FLAIR magnetic resonance.
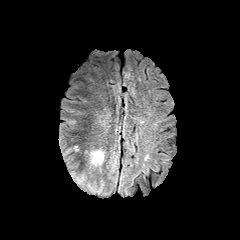
T1-weighted MR image.
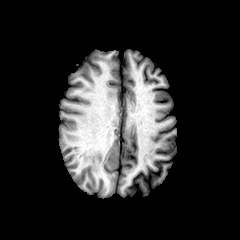
Post-contrast T1-weighted MR image.
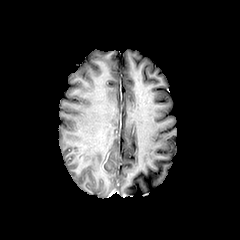
T2-weighted MR image.
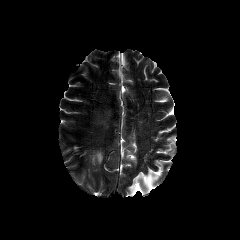
Head, Axial slice
peritumoral edema: (91, 150, 103, 164)